Head
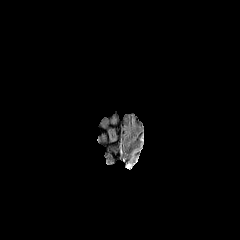
FLAIR magnetic resonance.
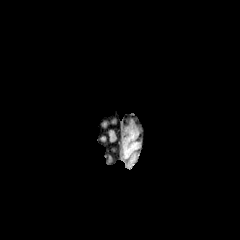
T1-weighted MR of the same slice.
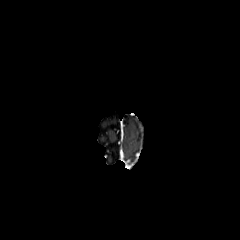
Post-contrast T1-weighted MRI.
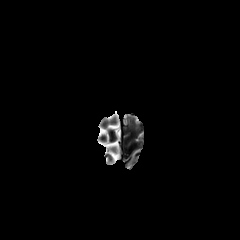
T2-weighted MRI of the same slice.
peritumoral edema at [129, 149, 139, 160]